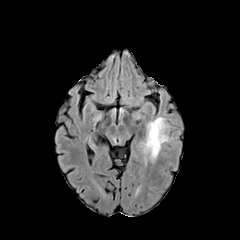
FLAIR MR image.
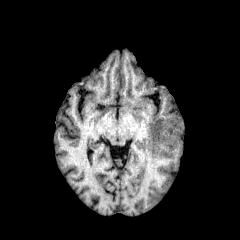
T1-weighted MR image.
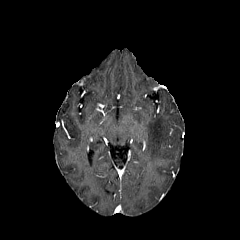
Same slice, post-contrast T1-weighted MRI.
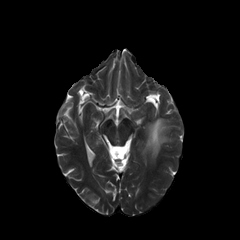
T2-weighted MR.
Axial view
Segmented structures:
• peritumoral edema: l=145, t=117, r=168, b=160